FLAIR MR image.
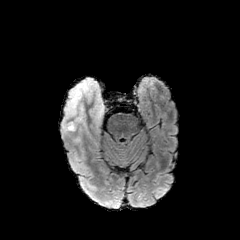
T1-weighted magnetic resonance.
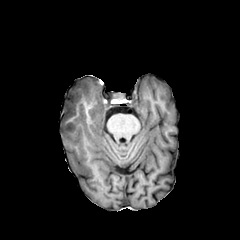
Post-contrast T1-weighted magnetic resonance.
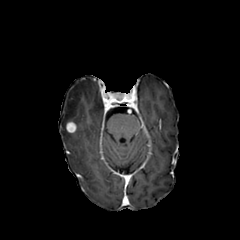
T2-weighted MRI.
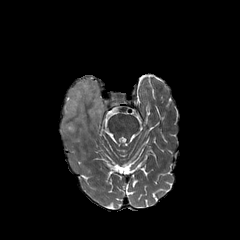
Brain.
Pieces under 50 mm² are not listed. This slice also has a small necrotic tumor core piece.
enhancing tumor: bounding box 66 122 76 132
peritumoral edema: bounding box 61 77 104 141